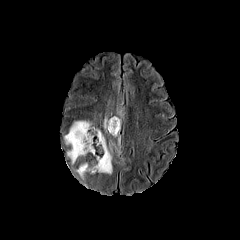
FLAIR MR.
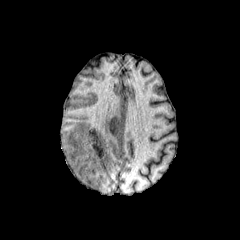
Same slice, T1-weighted MR.
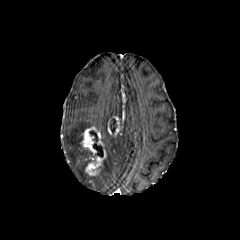
Post-contrast T1-weighted magnetic resonance.
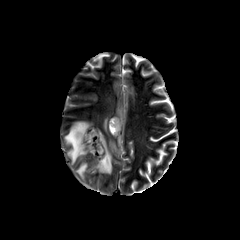
Same slice, T2-weighted MR image.
Axial plane. Head. 240x240.
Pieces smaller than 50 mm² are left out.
The 4 largest peritumoral edema regions appear at x1=99 y1=136 x2=116 y2=174, x1=75 y1=163 x2=87 y2=179, x1=64 y1=120 x2=94 y2=164, x1=103 y1=117 x2=108 y2=132. 2 enhancing tumor regions are bounded by x1=107 y1=116 x2=121 y2=136, x1=81 y1=127 x2=106 y2=175. 2 necrotic tumor core regions are bounded by x1=90 y1=131 x2=103 y2=157, x1=110 y1=118 x2=116 y2=133.